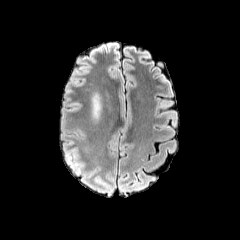
FLAIR magnetic resonance.
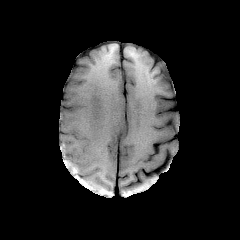
T1-weighted MR image.
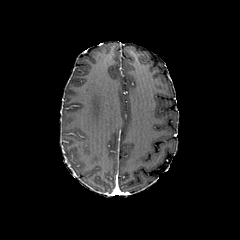
Post-contrast T1-weighted magnetic resonance.
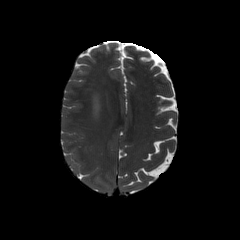
T2-weighted MR.
Axial slice
peritumoral_edema:
  - [92, 93, 101, 119]